FLAIR MR.
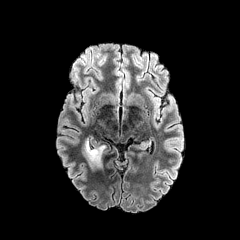
T1-weighted MR image.
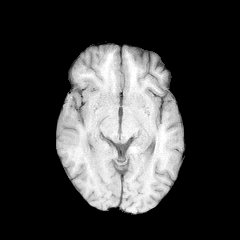
Post-contrast T1-weighted MR.
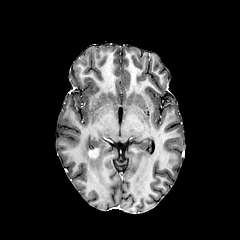
T2-weighted MR.
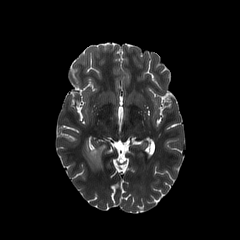
240x240 px | Head | Axial plane
Segmented structures:
* enhancing tumor: <box>88,148,100,159</box>
* peritumoral edema: <box>82,137,106,171</box>